Image width 240 mm, 1.00 mm slice spacing, Brain, Axial plane, Slice index 120
FLAIR magnetic resonance.
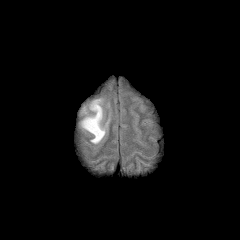
T1-weighted magnetic resonance.
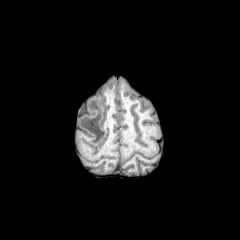
Post-contrast T1-weighted MR image.
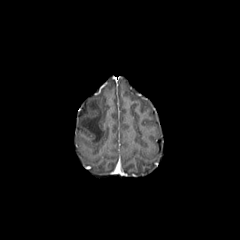
T2-weighted MR.
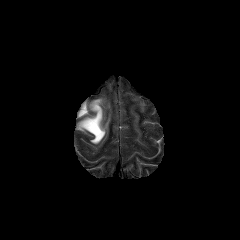
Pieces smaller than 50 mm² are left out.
peritumoral edema = (x1=80, y1=99, x2=109, y2=143)